Axial slice
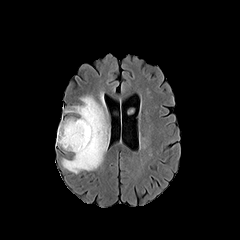
FLAIR MR.
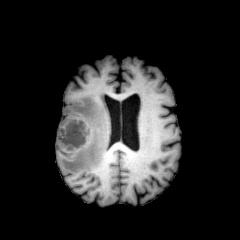
T1-weighted magnetic resonance.
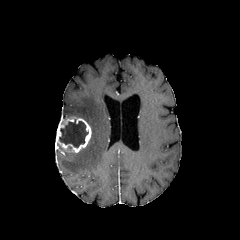
Post-contrast T1-weighted MRI.
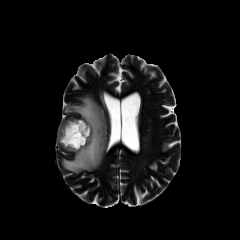
Same slice, T2-weighted MR image.
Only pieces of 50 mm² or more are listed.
peritumoral_edema:
  - box=[61, 96, 109, 173]
enhancing_tumor:
  - box=[56, 116, 91, 152]
necrotic_tumor_core:
  - box=[59, 120, 88, 147]